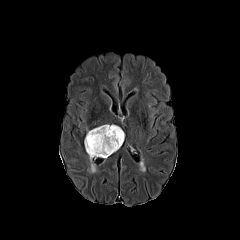
FLAIR MR image.
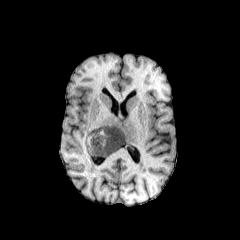
T1-weighted MR of the same slice.
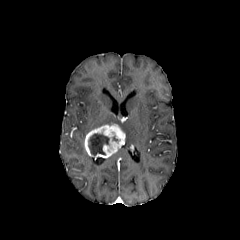
Post-contrast T1-weighted MR of the same slice.
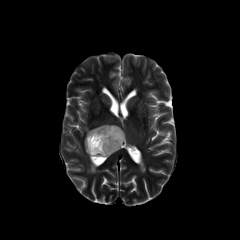
T2-weighted MR.
Axial plane; Head
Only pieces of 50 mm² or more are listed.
necrotic tumor core: rect(88, 133, 109, 155) | peritumoral edema: rect(87, 156, 96, 173) | enhancing tumor: rect(84, 124, 125, 158)